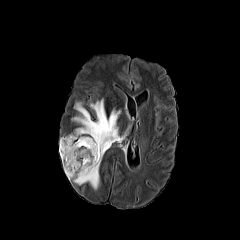
FLAIR MR.
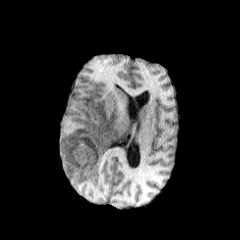
T1-weighted MR image of the same slice.
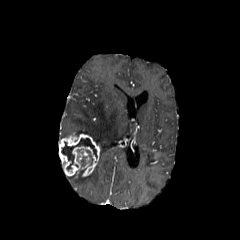
Post-contrast T1-weighted magnetic resonance.
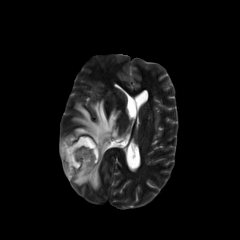
T2-weighted MR image of the same slice.
Axial slice
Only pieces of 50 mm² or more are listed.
{
  "enhancing_tumor": [
    "[59,133,100,176]"
  ],
  "necrotic_tumor_core": [
    "[61,138,97,170]"
  ],
  "peritumoral_edema": [
    "[70,98,126,189]"
  ]
}